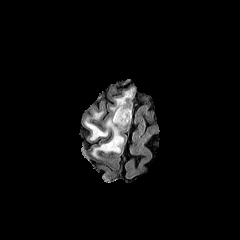
FLAIR MRI.
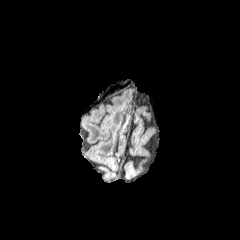
T1-weighted MR image.
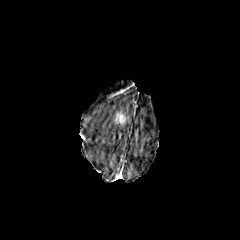
Post-contrast T1-weighted MR.
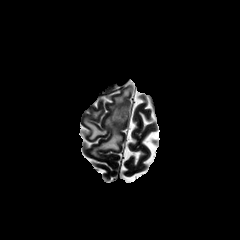
T2-weighted MR of the same slice.
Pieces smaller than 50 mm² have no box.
peritumoral edema = 85:120:107:140, 111:90:132:119, 92:116:124:158
enhancing tumor = 113:110:129:125